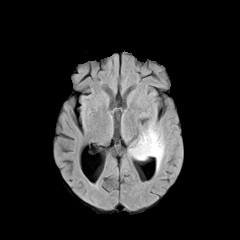
FLAIR magnetic resonance.
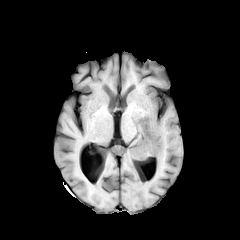
T1-weighted MR image.
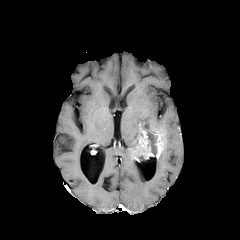
Post-contrast T1-weighted MR of the same slice.
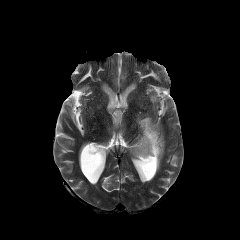
T2-weighted MR.
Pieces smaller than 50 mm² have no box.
necrotic tumor core = (143,126,157,156)
peritumoral edema = (140,119,161,131), (156,140,165,171)
enhancing tumor = (130,129,153,161), (151,127,164,158)